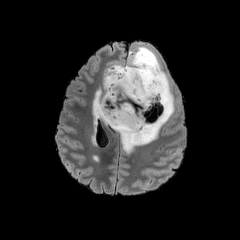
FLAIR magnetic resonance.
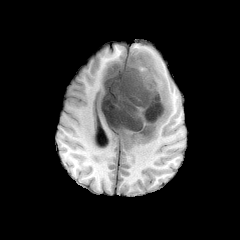
Same slice, T1-weighted magnetic resonance.
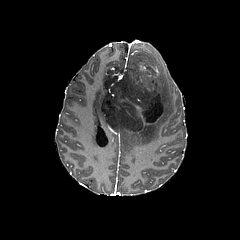
Post-contrast T1-weighted magnetic resonance.
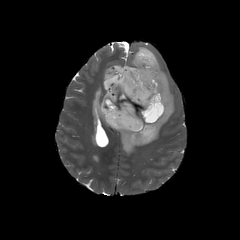
T2-weighted MR image.
Axial plane, Brain
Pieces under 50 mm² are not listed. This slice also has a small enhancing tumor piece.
peritumoral edema: bounding box box=[92, 89, 106, 124]; box=[103, 63, 121, 86]; box=[112, 46, 174, 152]
necrotic tumor core: bounding box box=[100, 51, 165, 132]